Axial view
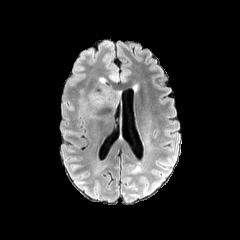
FLAIR MRI.
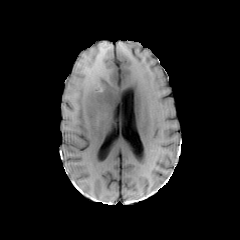
Same slice, T1-weighted MR image.
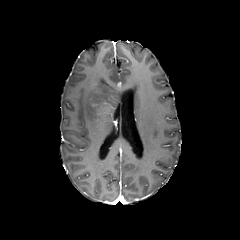
Post-contrast T1-weighted MR image of the same slice.
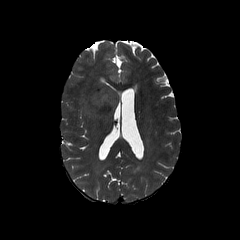
Same slice, T2-weighted magnetic resonance.
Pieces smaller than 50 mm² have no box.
peritumoral edema — <box>84,77,118,113</box>